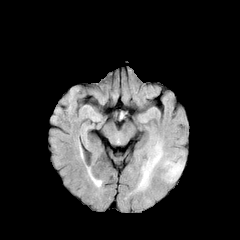
FLAIR MR image.
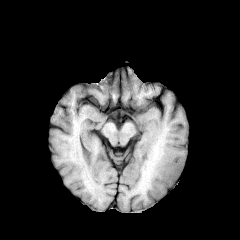
T1-weighted magnetic resonance of the same slice.
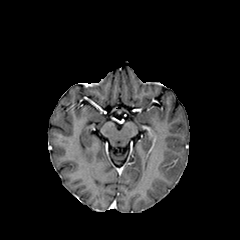
Post-contrast T1-weighted MRI of the same slice.
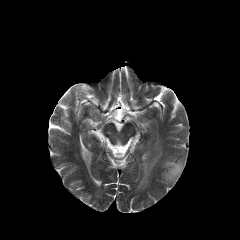
T2-weighted magnetic resonance of the same slice.
Image size 240x240; Axial slice
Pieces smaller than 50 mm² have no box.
{"peritumoral_edema": ["bbox(139, 146, 161, 187)", "bbox(165, 161, 182, 181)"]}